Image width 240 mm. Slice index 109.
FLAIR magnetic resonance.
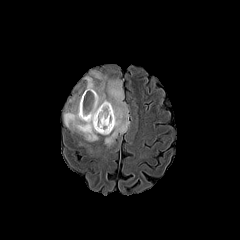
T1-weighted magnetic resonance.
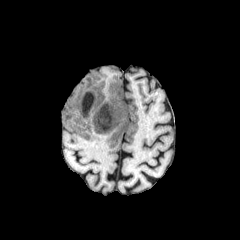
Post-contrast T1-weighted MRI.
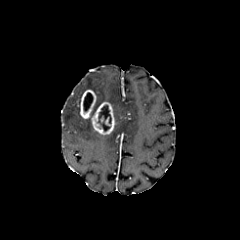
T2-weighted MR.
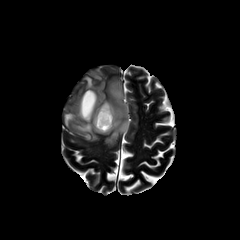
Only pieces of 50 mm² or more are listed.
Annotated regions:
- enhancing tumor: box=[80, 89, 116, 134]
- peritumoral edema: box=[64, 97, 98, 141]; box=[85, 71, 129, 146]
- necrotic tumor core: box=[83, 93, 93, 111]; box=[98, 105, 111, 130]